Brain. Axial plane. Slice 103 of 155. 240x240.
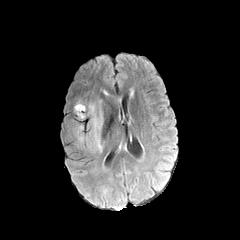
FLAIR magnetic resonance.
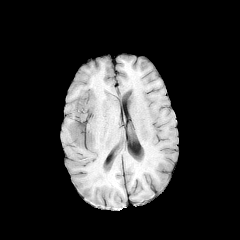
Same slice, T1-weighted MR image.
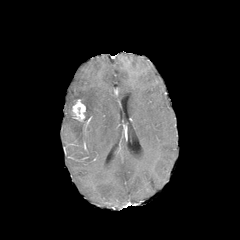
Same slice, post-contrast T1-weighted magnetic resonance.
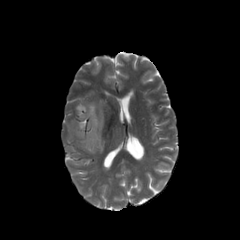
T2-weighted magnetic resonance.
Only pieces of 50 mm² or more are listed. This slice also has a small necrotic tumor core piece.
2 enhancing tumor regions appear at bbox(73, 100, 85, 121); bbox(73, 125, 86, 142). The peritumoral edema is at bbox(86, 101, 102, 152).